Axial slice
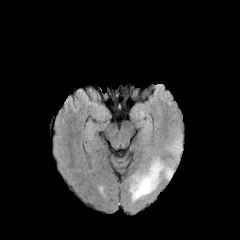
FLAIR MR.
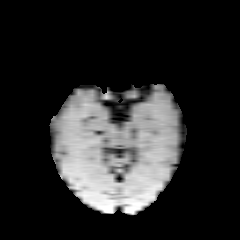
Same slice, T1-weighted magnetic resonance.
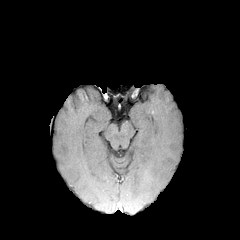
Post-contrast T1-weighted MR.
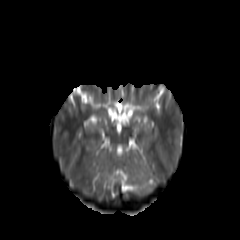
T2-weighted magnetic resonance.
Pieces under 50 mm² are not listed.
Findings:
• peritumoral edema: [129,159,163,199]